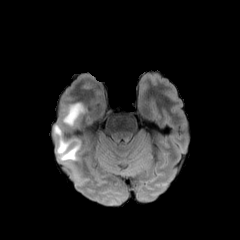
FLAIR MR image.
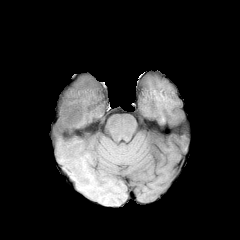
T1-weighted MRI.
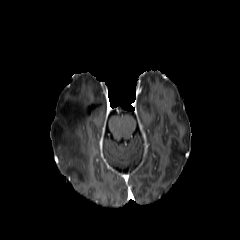
Same slice, post-contrast T1-weighted MR image.
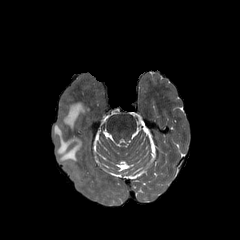
T2-weighted MRI of the same slice.
240x240 px | Head
3 peritumoral edema regions are located at (73, 170, 79, 182), (62, 102, 86, 128), (53, 124, 80, 169).